FLAIR magnetic resonance.
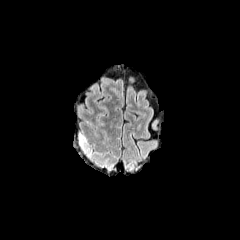
T1-weighted magnetic resonance.
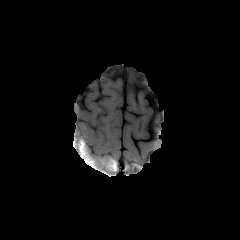
Post-contrast T1-weighted magnetic resonance.
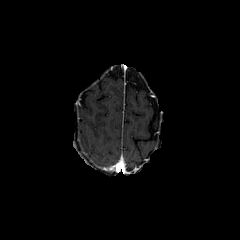
T2-weighted MR.
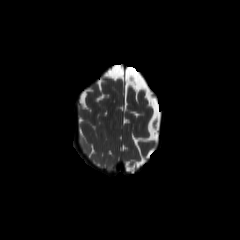
Head | 240x240 px | Axial slice
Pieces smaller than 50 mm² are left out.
peritumoral edema: {"x1": 79, "y1": 133, "x2": 87, "y2": 144}